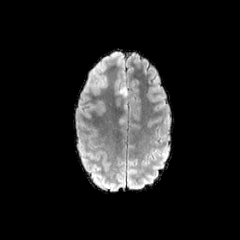
FLAIR MR.
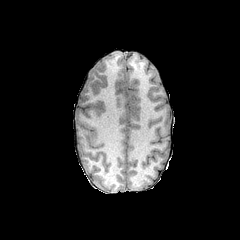
T1-weighted MR image of the same slice.
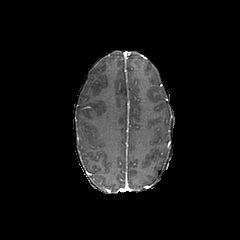
Post-contrast T1-weighted MR.
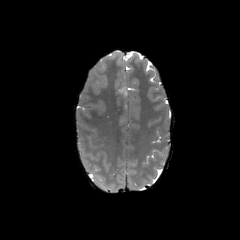
T2-weighted MR image.
Axial slice
The peritumoral edema is located at (118, 85, 130, 124).